Image covers 240 mm x 240 mm; 240x240 px
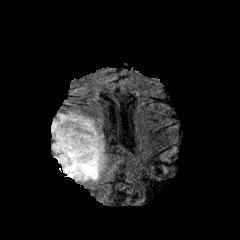
FLAIR MR image.
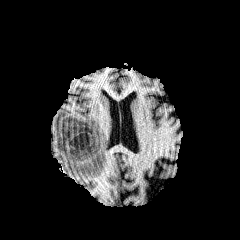
Same slice, T1-weighted MRI.
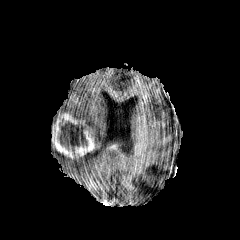
Same slice, post-contrast T1-weighted magnetic resonance.
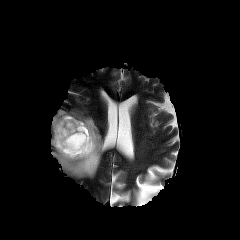
T2-weighted magnetic resonance.
necrotic_tumor_core:
  - (left=57, top=122, right=88, bottom=151)
enhancing_tumor:
  - (left=52, top=113, right=98, bottom=159)
peritumoral_edema:
  - (left=51, top=112, right=61, bottom=133)
  - (left=52, top=110, right=103, bottom=178)